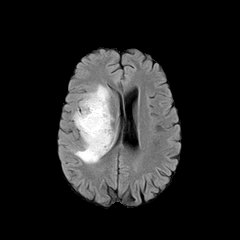
FLAIR MR.
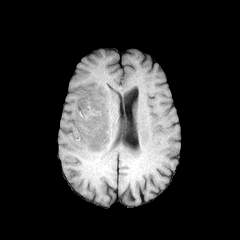
T1-weighted MR of the same slice.
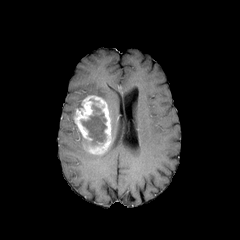
Post-contrast T1-weighted MR image.
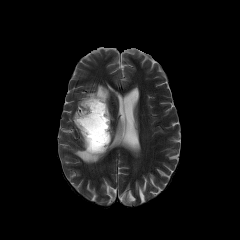
Same slice, T2-weighted MR.
Axial view
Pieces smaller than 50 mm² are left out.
The necrotic tumor core is bounded by (82, 105, 106, 145). The largest enhancing tumor region is located at (74, 95, 111, 154). The 2 largest peritumoral edema regions are bounded by (72, 133, 111, 163), (83, 84, 113, 122).